Axial plane, Head
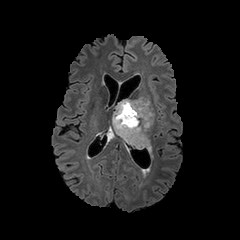
FLAIR MR.
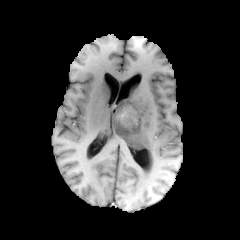
T1-weighted MR image.
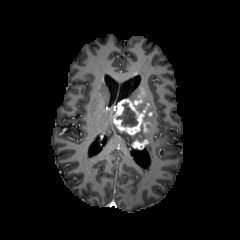
Post-contrast T1-weighted MR image.
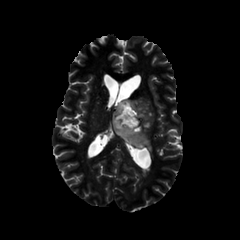
T2-weighted MR image of the same slice.
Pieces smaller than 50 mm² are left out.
necrotic tumor core: 116 104 137 127 | enhancing tumor: 144 122 151 131, 114 99 143 134, 132 140 147 149 | peritumoral edema: 112 95 152 144